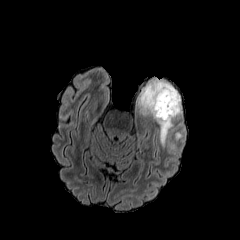
FLAIR magnetic resonance.
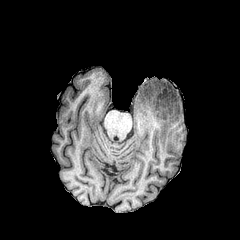
T1-weighted MR.
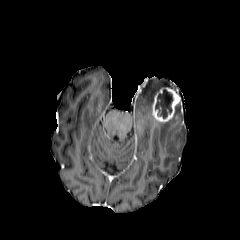
Post-contrast T1-weighted MR of the same slice.
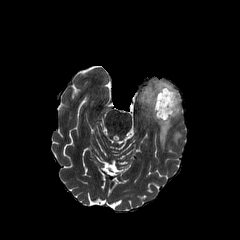
T2-weighted MR image.
Image size 240x240
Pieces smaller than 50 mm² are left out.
necrotic tumor core — bbox=[155, 89, 172, 118]
peritumoral edema — bbox=[157, 103, 182, 146]; bbox=[174, 132, 181, 140]; bbox=[138, 79, 176, 115]
enhancing tumor — bbox=[152, 87, 181, 122]